Slice 102 of 155, Brain, 240x240 px, Axial plane
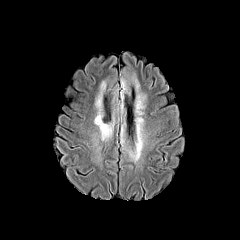
FLAIR magnetic resonance.
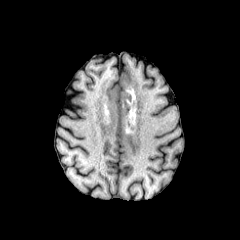
T1-weighted MRI.
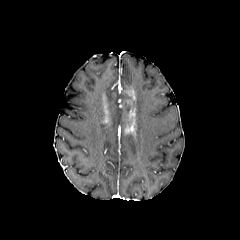
Post-contrast T1-weighted MR image of the same slice.
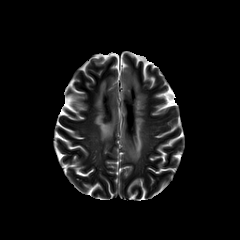
T2-weighted magnetic resonance.
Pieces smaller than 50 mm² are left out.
peritumoral edema — [120, 67, 146, 162], [94, 75, 119, 141]